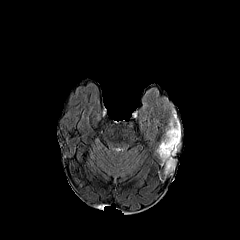
FLAIR MRI.
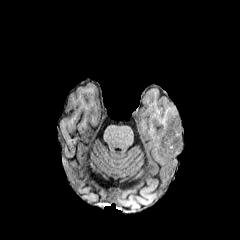
Same slice, T1-weighted MR.
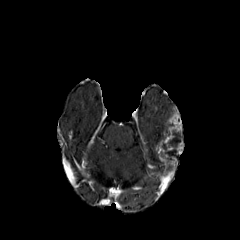
Post-contrast T1-weighted MR.
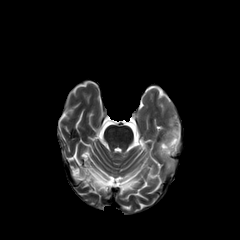
Same slice, T2-weighted MR.
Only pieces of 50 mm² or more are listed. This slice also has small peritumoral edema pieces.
The enhancing tumor is at bbox=[156, 111, 183, 173]. The 2 largest necrotic tumor core regions appear at bbox=[168, 131, 181, 147]; bbox=[165, 149, 177, 160].